FLAIR MRI.
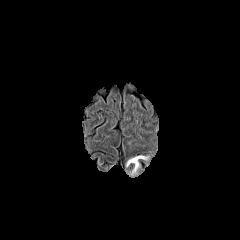
T1-weighted magnetic resonance.
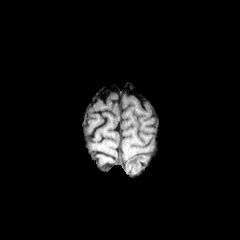
Post-contrast T1-weighted MRI.
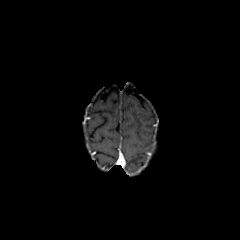
T2-weighted MRI.
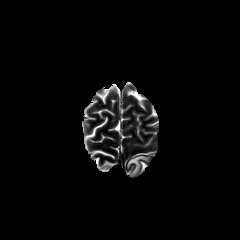
Axial plane.
peritumoral edema: x1=124 y1=154 x2=150 y2=173